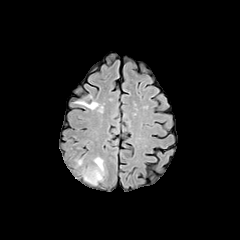
FLAIR MRI.
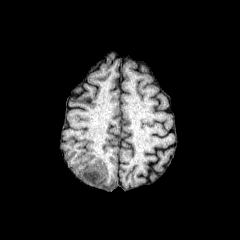
Same slice, T1-weighted MRI.
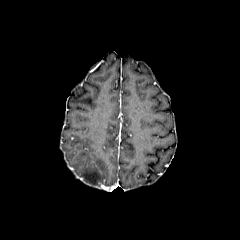
Same slice, post-contrast T1-weighted MRI.
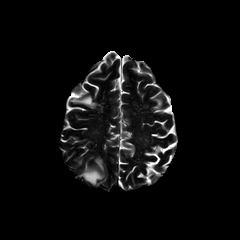
T2-weighted MRI of the same slice.
240x240 px
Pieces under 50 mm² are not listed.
The largest peritumoral edema region is bounded by bbox=[81, 157, 104, 185].